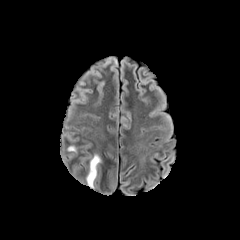
FLAIR MRI.
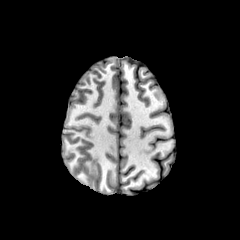
T1-weighted MRI.
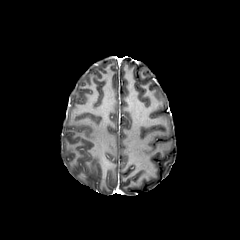
Post-contrast T1-weighted MR of the same slice.
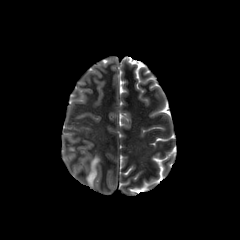
Same slice, T2-weighted MRI.
Image size 240x240 | Axial view
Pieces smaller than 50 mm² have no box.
<segmentation>
  <peritumoral_edema>box(86, 155, 100, 187)</peritumoral_edema>
</segmentation>